FLAIR magnetic resonance.
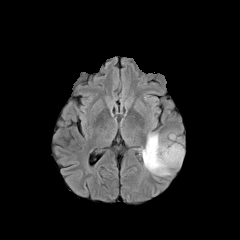
T1-weighted MR image.
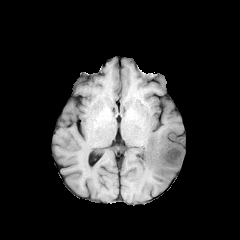
Post-contrast T1-weighted MRI.
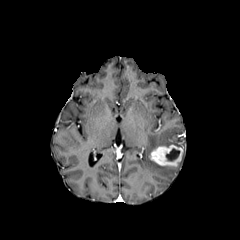
T2-weighted magnetic resonance.
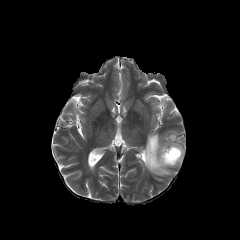
Brain | Axial view
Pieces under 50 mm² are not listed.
necrotic tumor core: {"x1": 166, "y1": 148, "x2": 179, "y2": 160} | peritumoral edema: {"x1": 142, "y1": 133, "x2": 181, "y2": 175} | enhancing tumor: {"x1": 149, "y1": 144, "x2": 183, "y2": 166}